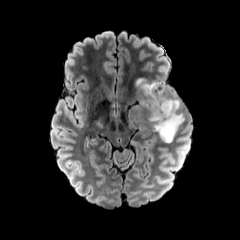
FLAIR MR image.
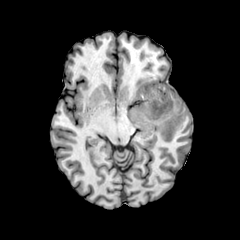
T1-weighted magnetic resonance.
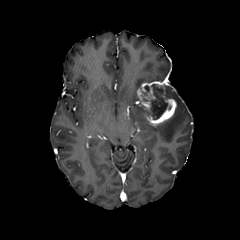
Post-contrast T1-weighted MR.
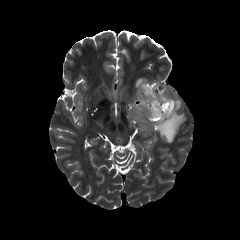
T2-weighted magnetic resonance.
Brain
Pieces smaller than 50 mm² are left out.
necrotic tumor core: box=[148, 84, 167, 119] | enhancing tumor: box=[137, 81, 176, 125] | peritumoral edema: box=[153, 85, 184, 142]; box=[134, 102, 143, 113]; box=[136, 78, 147, 88]